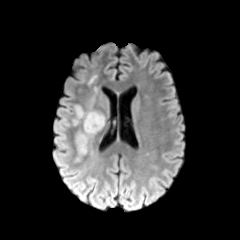
FLAIR magnetic resonance.
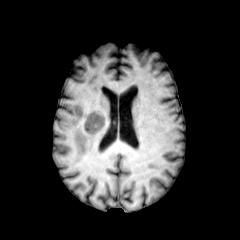
Same slice, T1-weighted MRI.
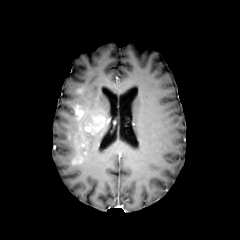
Same slice, post-contrast T1-weighted magnetic resonance.
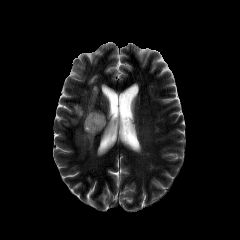
T2-weighted MRI of the same slice.
Brain
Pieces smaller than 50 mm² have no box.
2 enhancing tumor regions are bounded by region(74, 105, 84, 118); region(84, 113, 104, 134). The 2 largest peritumoral edema regions are located at region(76, 134, 87, 145); region(83, 110, 100, 126).